Axial view
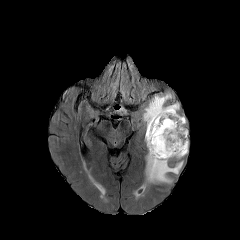
FLAIR MR.
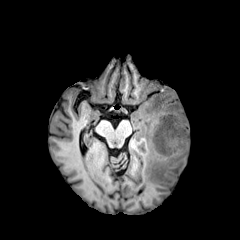
T1-weighted MR image.
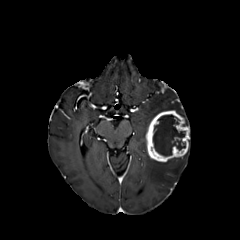
Post-contrast T1-weighted MR.
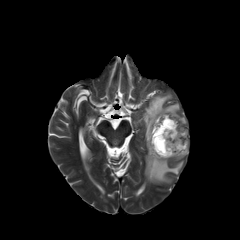
T2-weighted MR image.
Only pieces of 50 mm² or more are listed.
Annotated regions:
* necrotic tumor core: (left=153, top=115, right=185, bottom=156)
* enhancing tumor: (left=146, top=110, right=189, bottom=162)
* peritumoral edema: (left=146, top=155, right=183, bottom=182), (left=143, top=93, right=179, bottom=131)